FLAIR MR image.
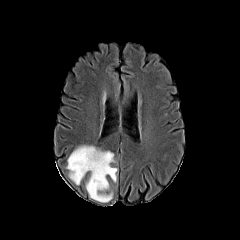
T1-weighted MR.
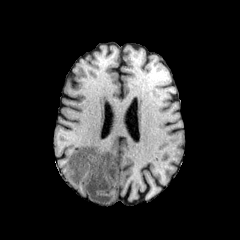
Post-contrast T1-weighted MR.
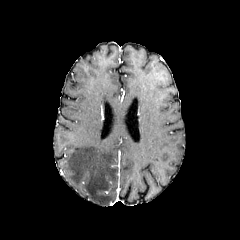
T2-weighted MR image.
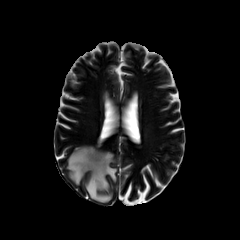
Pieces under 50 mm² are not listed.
{
  "peritumoral_edema": [
    "(66, 145, 117, 202)"
  ]
}